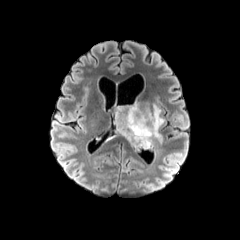
FLAIR MR image.
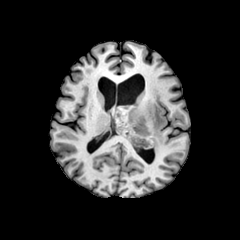
T1-weighted MRI.
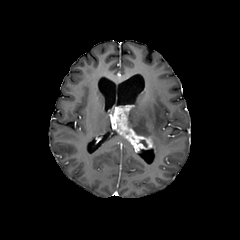
Post-contrast T1-weighted MRI.
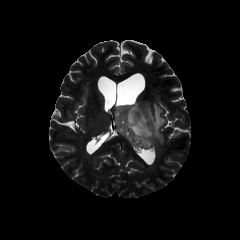
T2-weighted MR.
Axial plane
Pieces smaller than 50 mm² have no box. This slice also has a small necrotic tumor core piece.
enhancing tumor: bounding box 112, 105, 153, 150
peritumoral edema: bounding box 128, 103, 164, 143